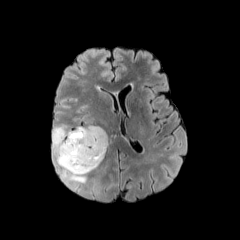
FLAIR MR.
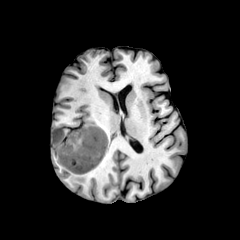
T1-weighted magnetic resonance.
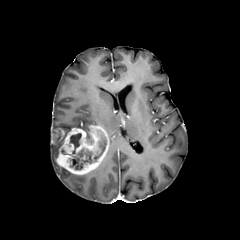
Post-contrast T1-weighted MRI of the same slice.
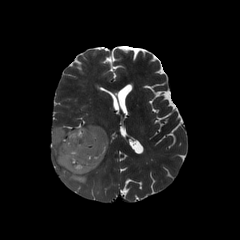
T2-weighted MR image.
Head. 240x240. Axial view.
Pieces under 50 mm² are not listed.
{"necrotic_tumor_core": ["[70, 149, 92, 169]", "[70, 133, 81, 153]", "[94, 140, 106, 160]"], "enhancing_tumor": ["[52, 125, 109, 174]"], "peritumoral_edema": ["[52, 142, 57, 158]", "[54, 159, 86, 183]", "[52, 126, 70, 140]"]}